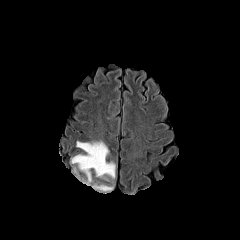
FLAIR magnetic resonance.
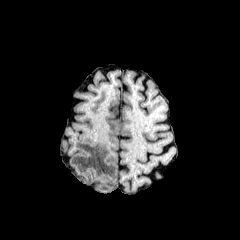
Same slice, T1-weighted MR.
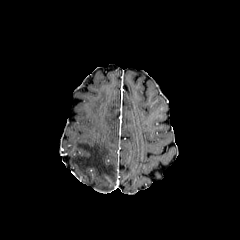
Post-contrast T1-weighted MR image.
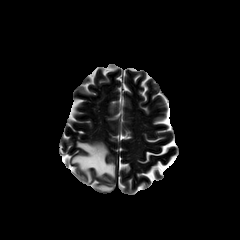
T2-weighted MR image.
240x240 px
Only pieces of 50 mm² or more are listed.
The 2 largest peritumoral edema regions are bounded by box=[93, 184, 113, 191]; box=[71, 141, 115, 184].